Axial slice. Image size 240x240. Slice 104 of 155.
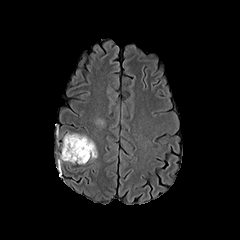
FLAIR magnetic resonance.
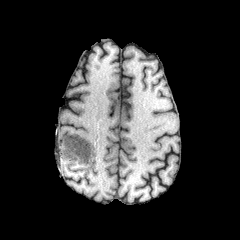
T1-weighted MR image.
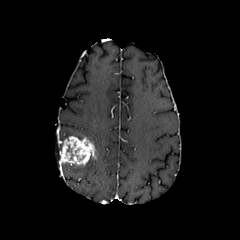
Same slice, post-contrast T1-weighted magnetic resonance.
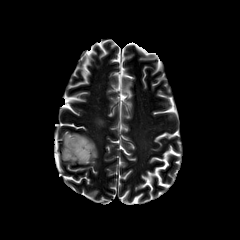
T2-weighted magnetic resonance of the same slice.
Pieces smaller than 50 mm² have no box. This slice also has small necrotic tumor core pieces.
Segmented structures:
* peritumoral edema: [63, 133, 86, 141], [95, 118, 104, 126]
* enhancing tumor: [60, 136, 96, 164]